Brain; Axial plane; 240x240 px
FLAIR MRI.
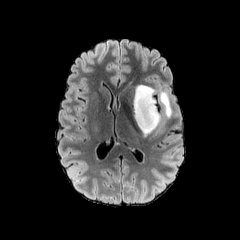
T1-weighted MR.
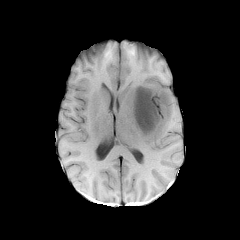
Post-contrast T1-weighted MR.
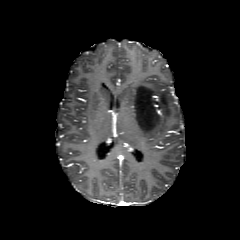
T2-weighted magnetic resonance.
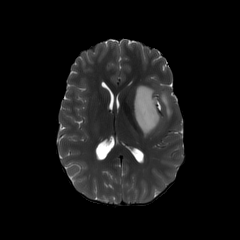
Segmented structures:
• peritumoral edema: l=133, t=85, r=161, b=136; l=159, t=91, r=171, b=118